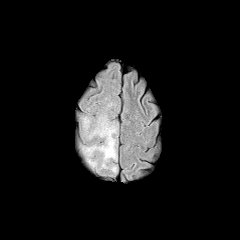
FLAIR MR.
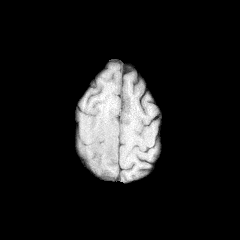
T1-weighted MR image of the same slice.
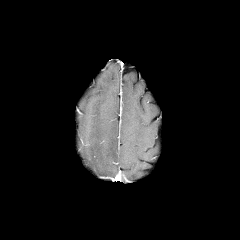
Post-contrast T1-weighted MR image of the same slice.
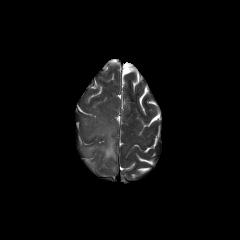
T2-weighted magnetic resonance of the same slice.
Axial plane
peritumoral edema: bounding box x1=83, y1=117, x2=90, y2=132; x1=82, y1=115, x2=117, y2=172